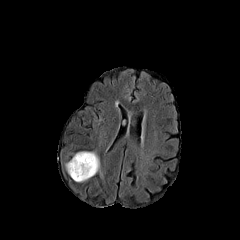
FLAIR MR image.
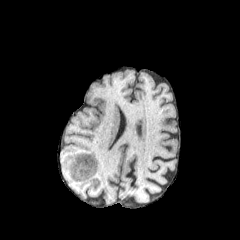
Same slice, T1-weighted magnetic resonance.
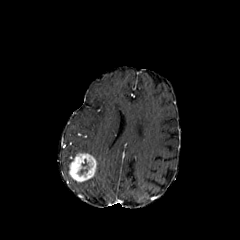
Post-contrast T1-weighted magnetic resonance.
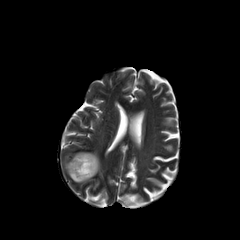
T2-weighted MRI.
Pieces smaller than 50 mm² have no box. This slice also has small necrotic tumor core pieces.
enhancing_tumor:
  - bbox(69, 153, 97, 181)
peritumoral_edema:
  - bbox(65, 151, 103, 177)